FLAIR MRI.
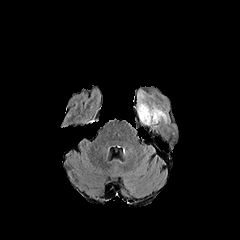
T1-weighted MR image.
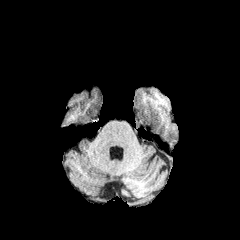
Post-contrast T1-weighted magnetic resonance.
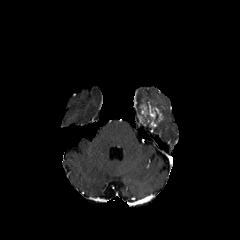
T2-weighted MRI.
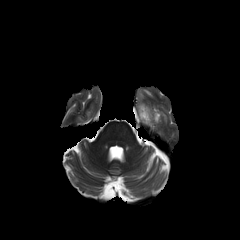
Brain
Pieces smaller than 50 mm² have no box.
{
  "necrotic_tumor_core": [
    "140, 113, 151, 124"
  ],
  "peritumoral_edema": [
    "137, 91, 144, 113",
    "159, 109, 167, 122"
  ],
  "enhancing_tumor": [
    "139, 104, 162, 127"
  ]
}